240x240 px. Brain. Axial view.
FLAIR MRI.
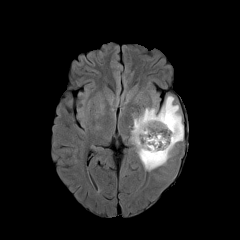
T1-weighted MR image.
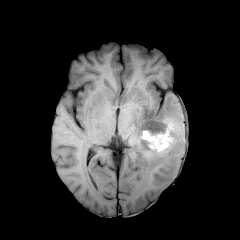
Post-contrast T1-weighted MRI.
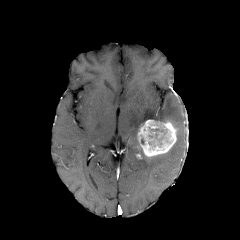
T2-weighted MR.
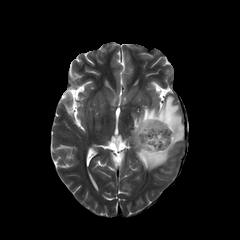
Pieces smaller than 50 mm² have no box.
- peritumoral edema: (130, 95, 183, 171), (94, 102, 105, 120)
- enhancing tumor: (138, 119, 176, 156)
- necrotic tumor core: (146, 129, 170, 147)